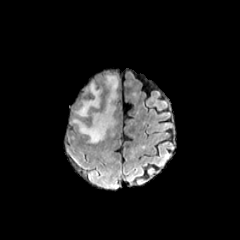
FLAIR magnetic resonance.
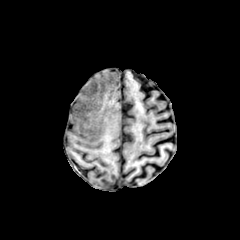
T1-weighted MR.
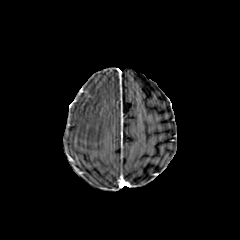
Post-contrast T1-weighted MRI.
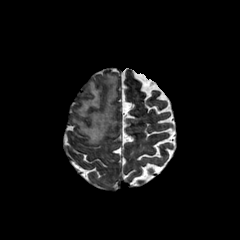
T2-weighted MR.
Head. Axial view. 240x240.
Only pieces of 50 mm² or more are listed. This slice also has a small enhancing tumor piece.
peritumoral_edema:
  - 73 75 118 143
  - 77 83 101 116